Image width 240 mm, 1.00 mm slice spacing. Slice 62 of 155.
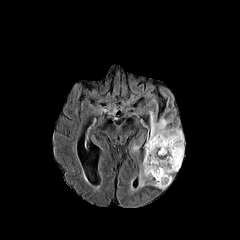
FLAIR MR image.
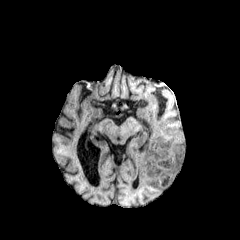
T1-weighted MR image of the same slice.
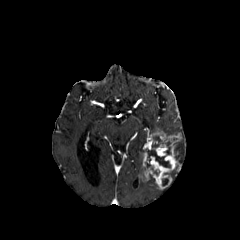
Post-contrast T1-weighted MRI of the same slice.
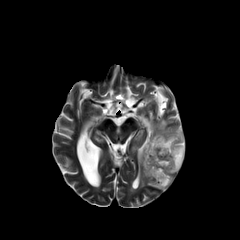
T2-weighted MR image.
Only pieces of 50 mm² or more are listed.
necrotic tumor core: <bbox>148, 149, 170, 167</bbox>, <bbox>166, 141, 170, 154</bbox>, <bbox>152, 136, 161, 147</bbox> | enhancing tumor: <bbox>140, 128, 181, 189</bbox> | peritumoral edema: <bbox>149, 111, 184, 164</bbox>, <bbox>138, 175, 156, 188</bbox>